Axial plane. Brain. Image size 240x240.
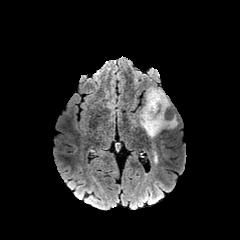
FLAIR magnetic resonance.
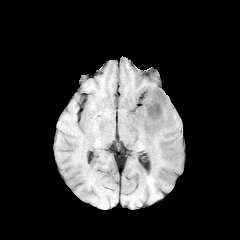
T1-weighted MR image.
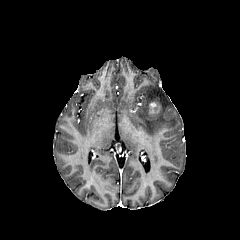
Post-contrast T1-weighted magnetic resonance.
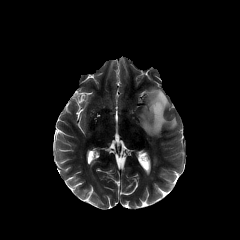
T2-weighted MR image of the same slice.
peritumoral edema: rect(139, 87, 177, 137) | enhancing tumor: rect(149, 102, 160, 115)